Axial plane. Head.
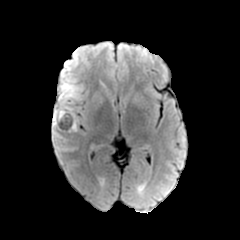
FLAIR MRI.
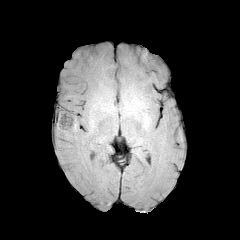
Same slice, T1-weighted MR image.
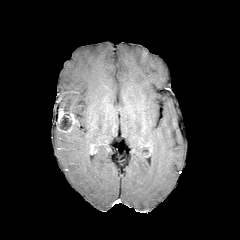
Post-contrast T1-weighted MR image.
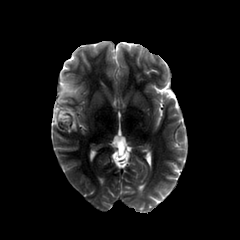
T2-weighted MRI.
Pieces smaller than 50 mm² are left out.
necrotic tumor core: left=58, top=115, right=71, bottom=130 | peritumoral edema: left=52, top=82, right=83, bottom=130 | enhancing tumor: left=56, top=108, right=77, bottom=132